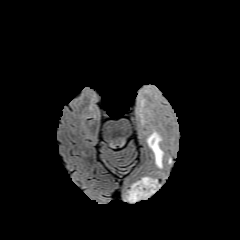
FLAIR MR.
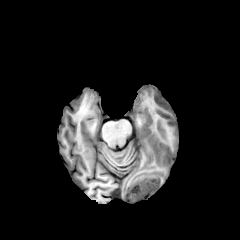
Same slice, T1-weighted MRI.
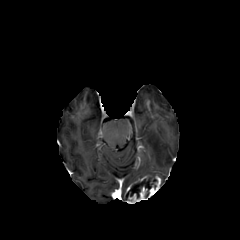
Post-contrast T1-weighted MRI of the same slice.
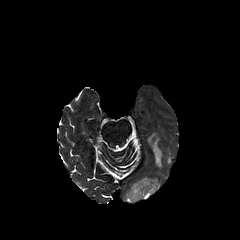
Same slice, T2-weighted magnetic resonance.
Axial view
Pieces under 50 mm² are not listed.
The largest necrotic tumor core region is bounded by (126, 177, 156, 197). The largest enhancing tumor region lies within (125, 176, 160, 203). The largest peritumoral edema region is located at (147, 131, 163, 168).